FLAIR MRI.
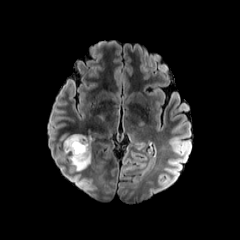
T1-weighted magnetic resonance.
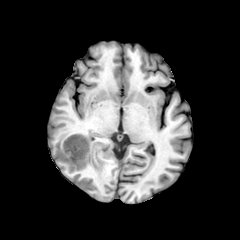
Post-contrast T1-weighted MR image.
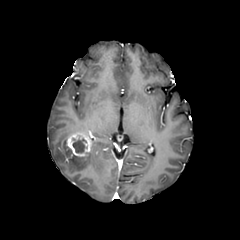
T2-weighted MR image.
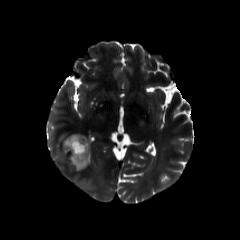
Axial slice
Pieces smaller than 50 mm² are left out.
Annotated regions:
- enhancing tumor: [x1=66, y1=133, x2=91, y2=157]
- necrotic tumor core: [x1=73, y1=138, x2=86, y2=152]
- peritumoral edema: [x1=59, y1=138, x2=90, y2=170]